Axial plane, Head, 240x240
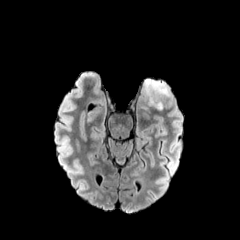
FLAIR MRI.
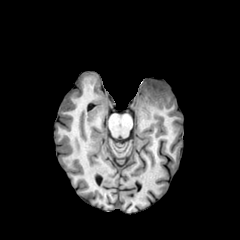
T1-weighted MR image of the same slice.
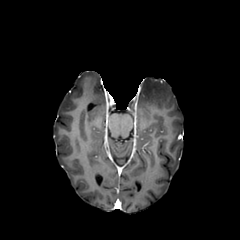
Same slice, post-contrast T1-weighted magnetic resonance.
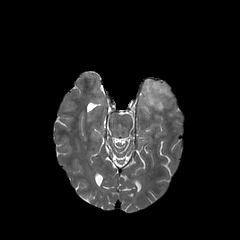
T2-weighted MRI of the same slice.
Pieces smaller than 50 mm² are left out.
peritumoral edema at <box>141,79,170,110</box>